Head, Slice index 47
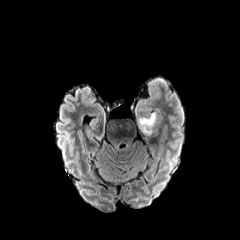
FLAIR MR.
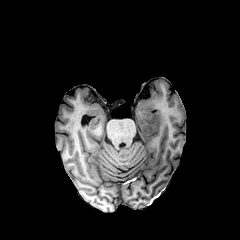
T1-weighted MRI.
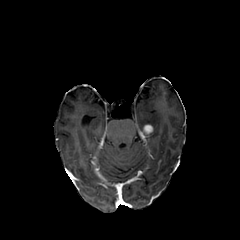
Post-contrast T1-weighted MR image.
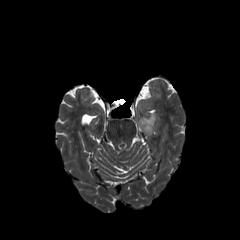
T2-weighted MR.
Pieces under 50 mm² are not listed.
enhancing tumor — [141,124,153,138]
peritumoral edema — [138,113,157,131]